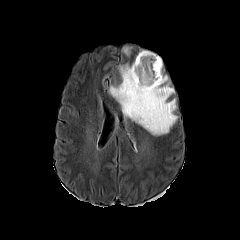
FLAIR magnetic resonance.
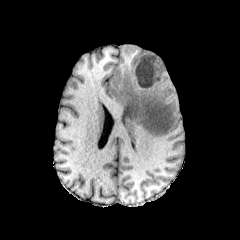
T1-weighted magnetic resonance.
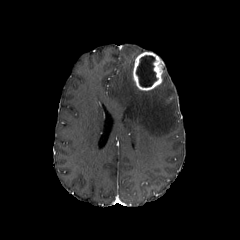
Post-contrast T1-weighted MRI of the same slice.
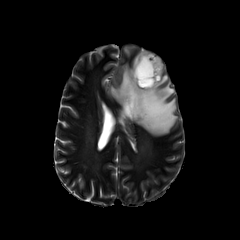
T2-weighted MR image of the same slice.
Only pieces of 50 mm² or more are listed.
peritumoral edema at x1=109, y1=63, x2=177, y2=136; x1=124, y1=47, x2=131, y2=55
necrotic tumor core at x1=136, y1=55, x2=156, y2=87
enhancing tumor at x1=133, y1=52, x2=163, y2=90